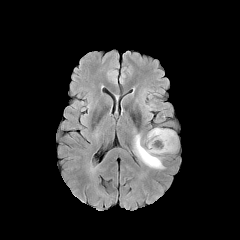
FLAIR magnetic resonance.
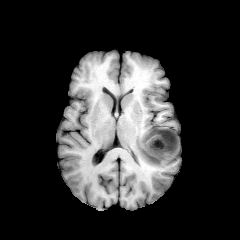
T1-weighted MRI.
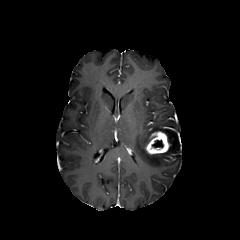
Post-contrast T1-weighted magnetic resonance.
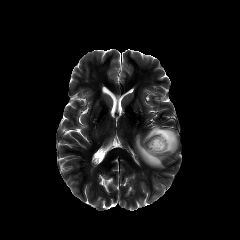
T2-weighted MR.
240x240; Head
peritumoral edema: (x1=134, y1=127, x2=177, y2=168) | necrotic tumor core: (x1=152, y1=140, x2=163, y2=147) | enhancing tumor: (x1=145, y1=131, x2=170, y2=154)